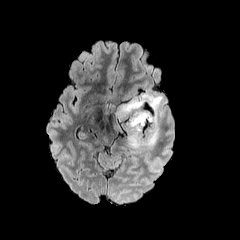
FLAIR MRI.
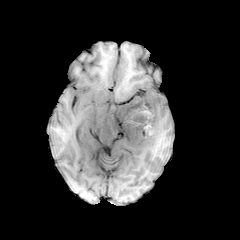
T1-weighted MR image.
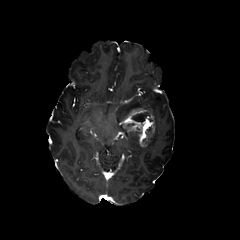
Post-contrast T1-weighted MR of the same slice.
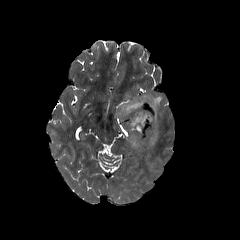
T2-weighted magnetic resonance.
Brain, Axial plane
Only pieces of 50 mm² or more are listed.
<segmentation>
  <necrotic_tumor_core><box>132,113,147,122</box></necrotic_tumor_core>
  <peritumoral_edema><box>116,91,164,150</box></peritumoral_edema>
  <enhancing_tumor><box>123,108,156,147</box></enhancing_tumor>
</segmentation>